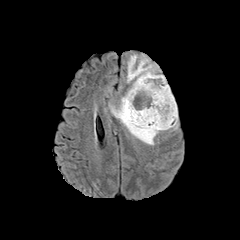
FLAIR MRI.
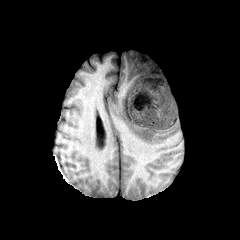
T1-weighted MR image.
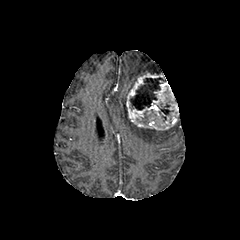
Post-contrast T1-weighted MR image.
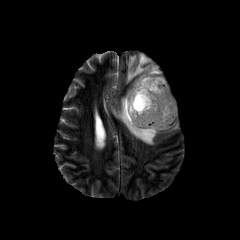
Same slice, T2-weighted MR image.
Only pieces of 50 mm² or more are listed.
Segmented structures:
• enhancing tumor: (x1=126, y1=72, x2=178, y2=130)
• peritumoral edema: (x1=126, y1=54, x2=159, y2=82), (x1=110, y1=92, x2=159, y2=145)
• necrotic tumor core: (x1=159, y1=103, x2=173, y2=115), (x1=130, y1=77, x2=165, y2=110)